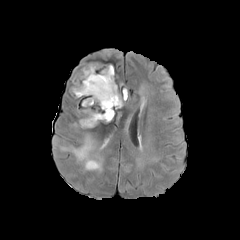
FLAIR MR.
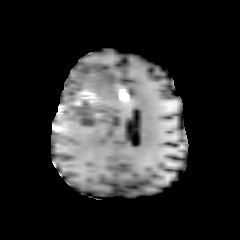
T1-weighted magnetic resonance of the same slice.
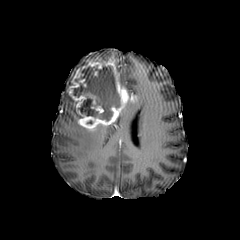
Same slice, post-contrast T1-weighted magnetic resonance.
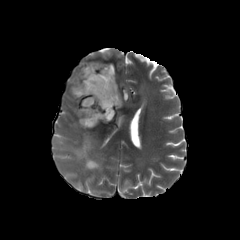
T2-weighted MR.
240x240.
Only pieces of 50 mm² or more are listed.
The 2 largest enhancing tumor regions are bounded by rect(91, 105, 104, 113); rect(67, 61, 135, 129). The 2 largest necrotic tumor core regions are bounded by rect(87, 159, 96, 165); rect(73, 65, 119, 120). The largest peritumoral edema region appears at rect(59, 133, 102, 170).